FLAIR MR.
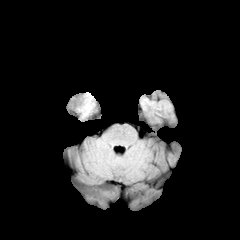
T1-weighted MR.
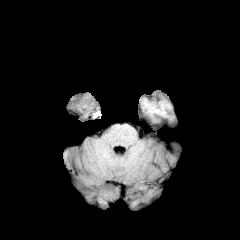
Post-contrast T1-weighted MRI.
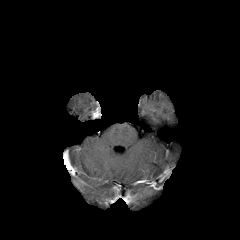
T2-weighted MRI.
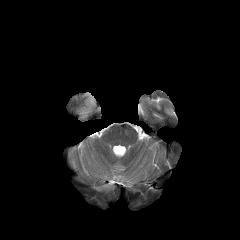
Head
Segmented structures:
• peritumoral edema: box(79, 93, 94, 117)